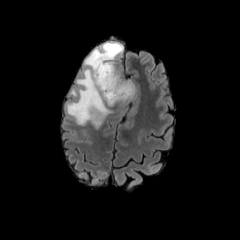
FLAIR magnetic resonance.
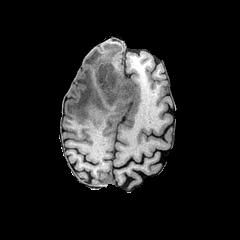
T1-weighted MRI.
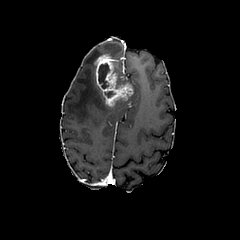
Post-contrast T1-weighted MRI of the same slice.
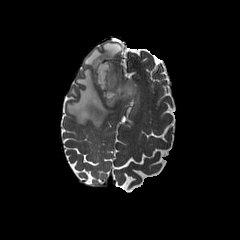
T2-weighted magnetic resonance.
Axial view. Head.
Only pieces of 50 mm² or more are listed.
<segmentation>
  <peritumoral_edema>[x1=67, y1=42, x2=135, y2=128]</peritumoral_edema>
  <necrotic_tumor_core>[x1=98, y1=63, x2=109, y2=88]</necrotic_tumor_core>
  <enhancing_tumor>[x1=94, y1=54, x2=133, y2=106]</enhancing_tumor>
</segmentation>